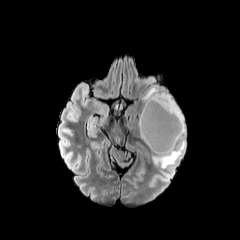
FLAIR MRI.
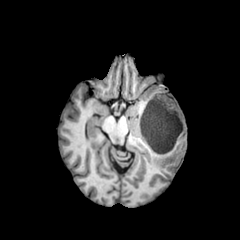
T1-weighted MR.
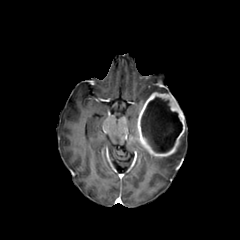
Post-contrast T1-weighted magnetic resonance of the same slice.
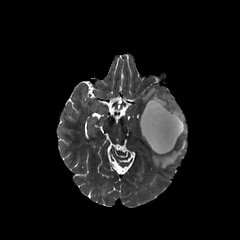
Same slice, T2-weighted MRI.
Image size 240x240.
enhancing tumor — bbox=[136, 92, 185, 156]
peritumoral edema — bbox=[152, 126, 186, 168]; bbox=[142, 86, 168, 104]
necrotic tumor core — bbox=[141, 97, 182, 152]